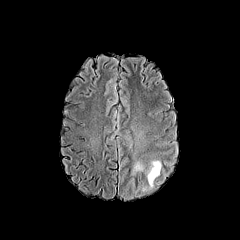
FLAIR magnetic resonance.
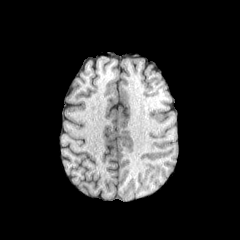
Same slice, T1-weighted MRI.
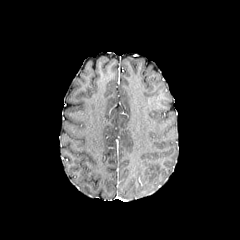
Post-contrast T1-weighted MR image.
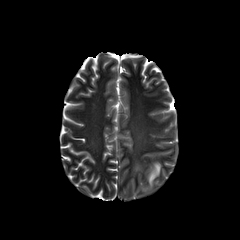
T2-weighted MR.
240x240 px | Axial view | Head
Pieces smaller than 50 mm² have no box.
peritumoral edema — [148, 162, 161, 186]